Image covers 240 mm x 240 mm; Axial view
FLAIR MR image.
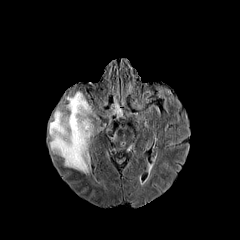
T1-weighted MR.
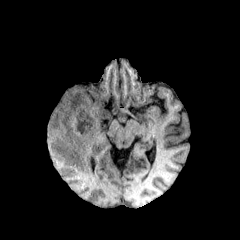
Post-contrast T1-weighted magnetic resonance.
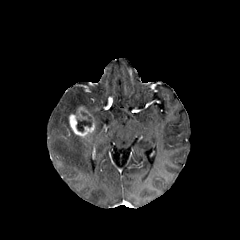
T2-weighted MR image.
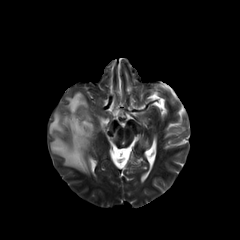
2 peritumoral edema regions are located at bbox=[49, 109, 93, 173]; bbox=[66, 91, 94, 115]. The enhancing tumor appears at bbox=[69, 106, 94, 138]. The necrotic tumor core lies within bbox=[76, 111, 92, 132].